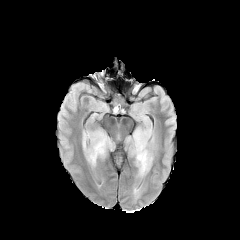
FLAIR magnetic resonance.
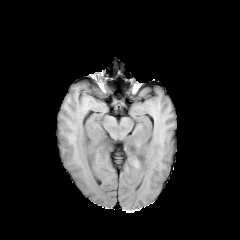
T1-weighted magnetic resonance.
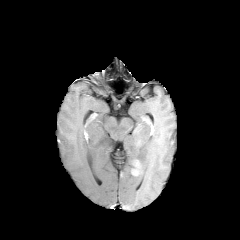
Post-contrast T1-weighted MRI.
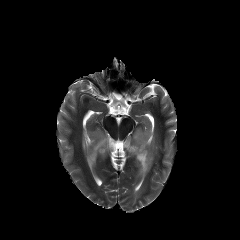
T2-weighted magnetic resonance of the same slice.
240x240 px, Axial view
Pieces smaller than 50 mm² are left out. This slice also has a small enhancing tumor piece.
The 2 largest peritumoral edema regions are located at 83,131,113,165; 127,128,152,176.